Head | Image width 240 mm | Axial slice | Slice 89 of 155
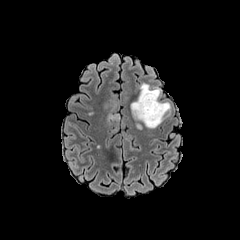
FLAIR MR image.
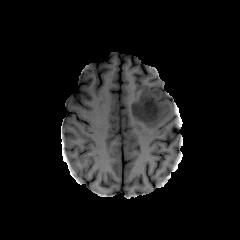
T1-weighted MR of the same slice.
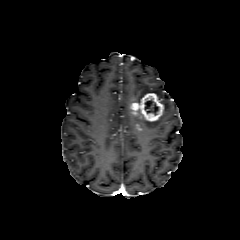
Post-contrast T1-weighted MRI of the same slice.
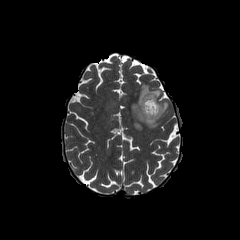
T2-weighted MRI.
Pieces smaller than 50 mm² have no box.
- enhancing tumor: 131:93:163:121
- necrotic tumor core: 144:99:158:115
- peritumoral edema: 132:101:170:129, 135:83:160:102